Axial view.
FLAIR MR image.
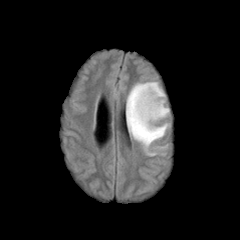
T1-weighted MRI.
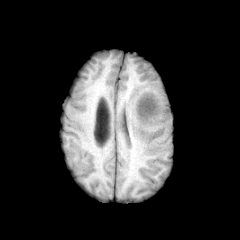
Post-contrast T1-weighted MRI.
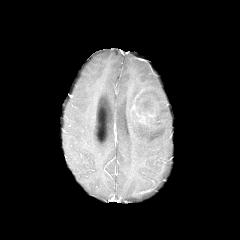
T2-weighted MRI.
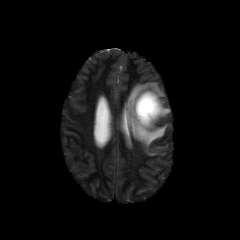
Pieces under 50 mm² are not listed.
peritumoral edema = region(126, 81, 169, 155)
necrotic tumor core = region(137, 94, 153, 115)
enhancing tumor = region(132, 93, 159, 124)